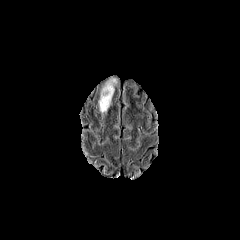
FLAIR magnetic resonance.
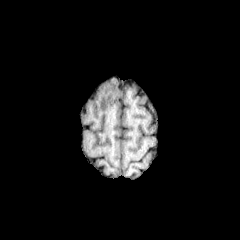
Same slice, T1-weighted MR.
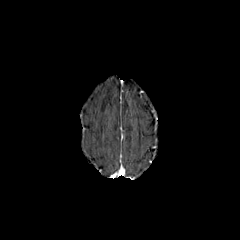
Post-contrast T1-weighted MR image.
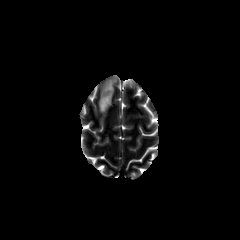
T2-weighted MRI.
Axial plane
peritumoral_edema:
  - box=[99, 79, 115, 112]